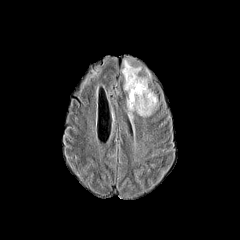
FLAIR MR image.
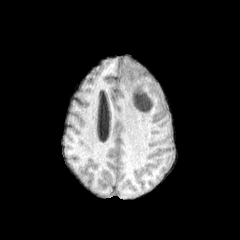
T1-weighted MRI of the same slice.
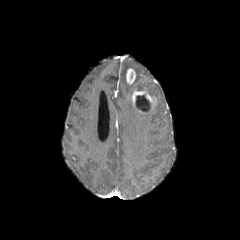
Same slice, post-contrast T1-weighted MR.
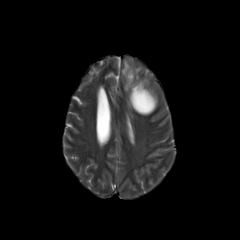
T2-weighted MR image of the same slice.
Axial plane
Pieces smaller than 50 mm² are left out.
The necrotic tumor core appears at {"x1": 135, "y1": 95, "x2": 150, "y2": 112}. 2 enhancing tumor regions appear at {"x1": 132, "y1": 89, "x2": 155, "y2": 113}, {"x1": 126, "y1": 68, "x2": 135, "y2": 84}. The largest peritumoral edema region is at {"x1": 122, "y1": 60, "x2": 156, "y2": 118}.